FLAIR MR image.
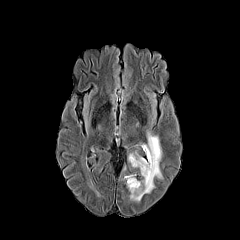
T1-weighted magnetic resonance.
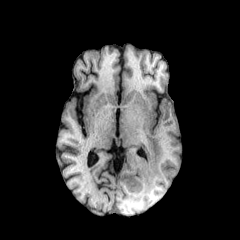
Post-contrast T1-weighted MRI.
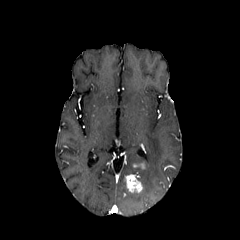
T2-weighted MR image.
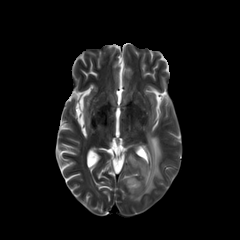
Head | 240x240
peritumoral edema: bounding box [x1=128, y1=133, x2=162, y2=201]
enhancing tumor: bounding box [x1=133, y1=162, x2=145, y2=169], [x1=124, y1=174, x2=143, y2=193]